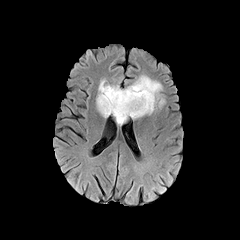
FLAIR MR image.
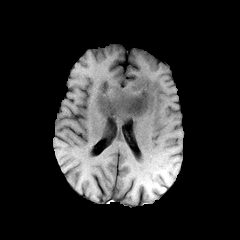
Same slice, T1-weighted MRI.
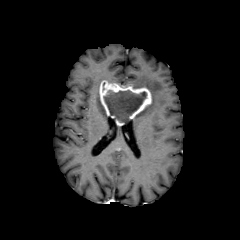
Post-contrast T1-weighted magnetic resonance of the same slice.
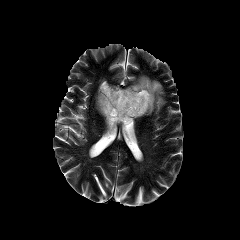
Same slice, T2-weighted MR.
240x240 px | Axial slice | Brain
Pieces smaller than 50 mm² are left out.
The 2 largest peritumoral edema regions are located at 96, 84, 109, 117; 131, 75, 165, 118. 2 enhancing tumor regions are bounded by 110, 116, 127, 125; 99, 80, 151, 119. The largest necrotic tumor core region lies within 104, 90, 146, 122.